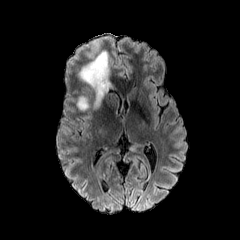
FLAIR MR image.
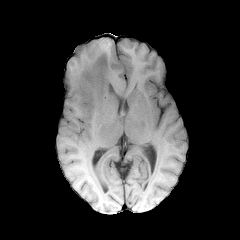
Same slice, T1-weighted MR image.
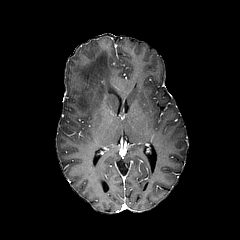
Same slice, post-contrast T1-weighted MR.
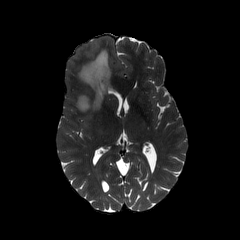
T2-weighted magnetic resonance.
Brain.
peritumoral edema: (left=77, top=50, right=110, bottom=111)